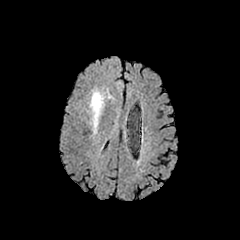
FLAIR MR.
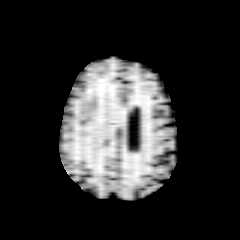
T1-weighted MR image of the same slice.
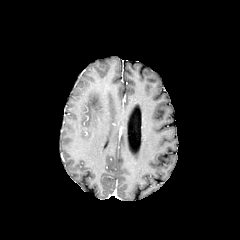
Post-contrast T1-weighted magnetic resonance.
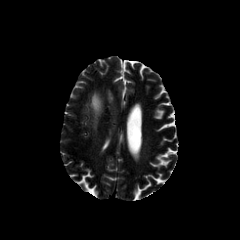
T2-weighted magnetic resonance of the same slice.
Head; Axial view; 240x240
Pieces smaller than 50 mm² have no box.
peritumoral edema: bounding box [x1=89, y1=89, x2=105, y2=135]